FLAIR magnetic resonance.
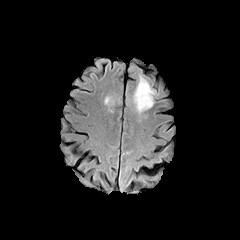
T1-weighted MRI.
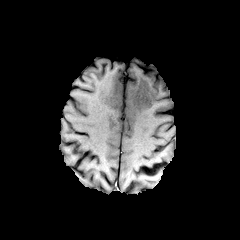
Post-contrast T1-weighted MR.
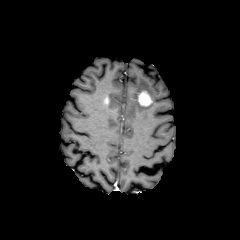
T2-weighted magnetic resonance.
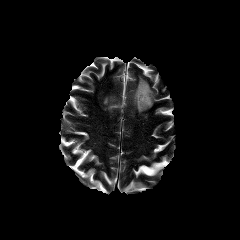
Axial plane | Brain
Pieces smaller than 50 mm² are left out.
2 peritumoral edema regions are bounded by 103, 96, 114, 111; 132, 75, 157, 114. The largest enhancing tumor region appears at 137, 90, 152, 106.